FLAIR MR image.
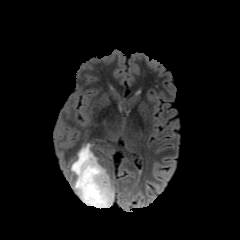
T1-weighted MR image.
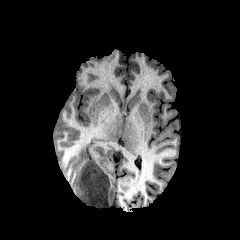
Post-contrast T1-weighted magnetic resonance.
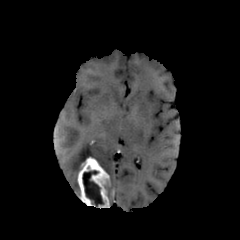
T2-weighted MRI.
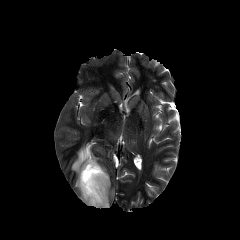
240x240 px; Axial plane; Brain
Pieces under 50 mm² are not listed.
peritumoral edema at l=73, t=179, r=79, b=195; l=71, t=143, r=98, b=178
necrotic tumor core at l=82, t=170, r=103, b=205
enhancing tumor at l=77, t=157, r=113, b=208